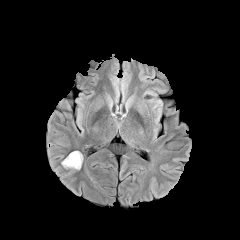
FLAIR MRI.
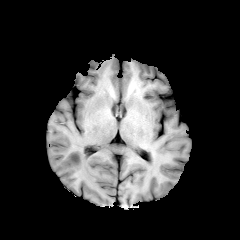
Same slice, T1-weighted MRI.
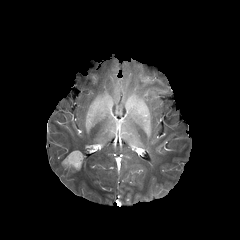
Same slice, post-contrast T1-weighted MR.
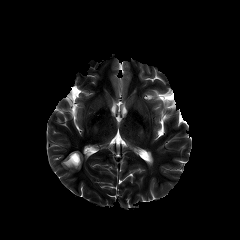
T2-weighted MR image of the same slice.
240x240 px | Axial view | Brain
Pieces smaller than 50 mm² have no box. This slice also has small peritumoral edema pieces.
The enhancing tumor is bounded by <bbox>63, 151, 82, 169</bbox>.